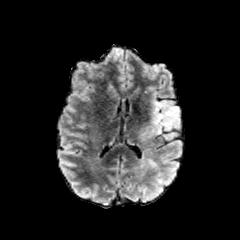
FLAIR MR image.
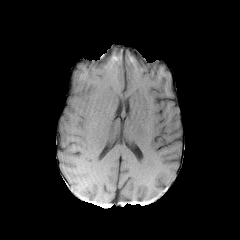
T1-weighted magnetic resonance.
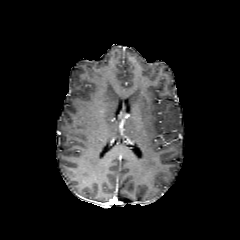
Post-contrast T1-weighted MR.
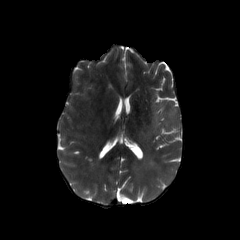
Same slice, T2-weighted MR image.
Head
2 peritumoral edema regions are located at [142,155,157,172], [140,99,179,144].